FLAIR magnetic resonance.
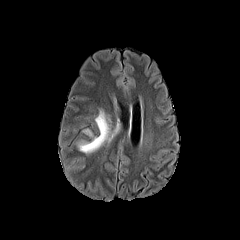
T1-weighted MR.
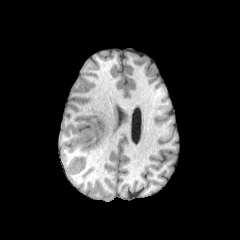
Post-contrast T1-weighted MR image.
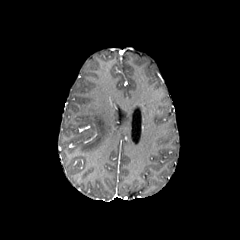
T2-weighted magnetic resonance.
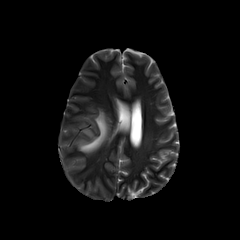
Axial slice | 240x240 px
The peritumoral edema is located at 77 108 119 153.